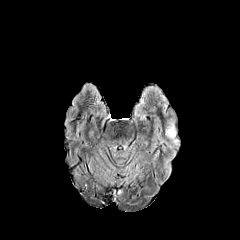
FLAIR MR.
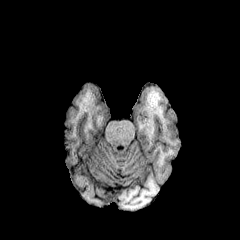
Same slice, T1-weighted MRI.
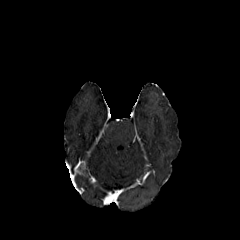
Post-contrast T1-weighted MRI of the same slice.
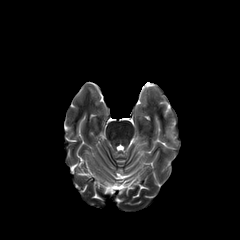
Same slice, T2-weighted magnetic resonance.
Head | 240x240
{"peritumoral_edema": ["166 124 177 142"]}